240x240 | Slice 46 of 155
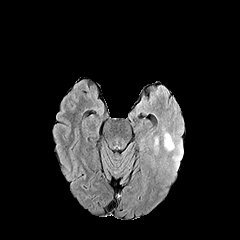
FLAIR MR.
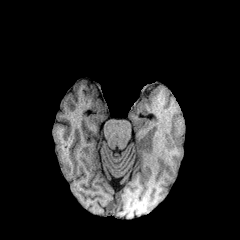
T1-weighted MR of the same slice.
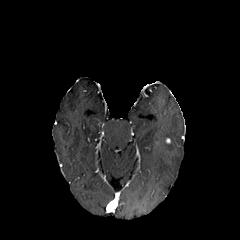
Same slice, post-contrast T1-weighted MR image.
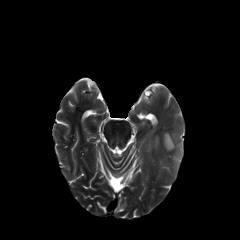
T2-weighted MR image.
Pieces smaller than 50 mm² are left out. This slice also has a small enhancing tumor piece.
{"peritumoral_edema": ["174:143:182:166", "164:132:175:150"]}